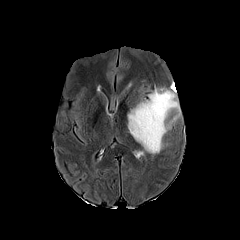
FLAIR MR.
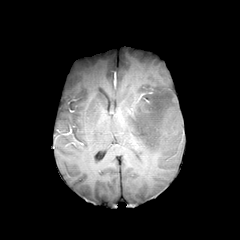
Same slice, T1-weighted MR.
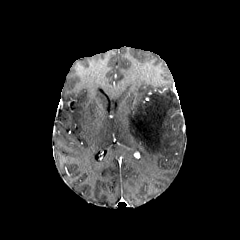
Post-contrast T1-weighted MRI.
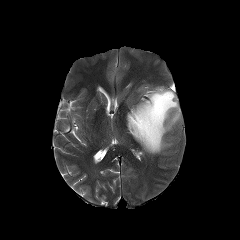
T2-weighted MRI.
240x240
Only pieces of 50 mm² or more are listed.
peritumoral edema: [x1=127, y1=87, x2=180, y2=154]